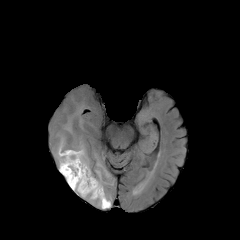
FLAIR MR image.
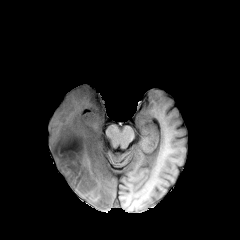
Same slice, T1-weighted MR.
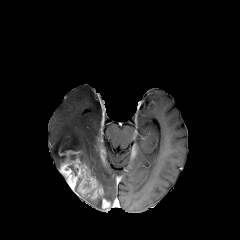
Same slice, post-contrast T1-weighted MRI.
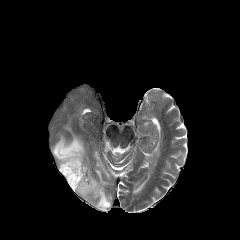
T2-weighted MRI.
Brain
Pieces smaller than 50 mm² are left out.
The largest necrotic tumor core region appears at (left=60, top=145, right=78, bottom=152). The largest peritumoral edema region lies within (left=52, top=116, right=113, bottom=209). 2 enhancing tumor regions are bounded by (left=58, top=142, right=103, bottom=199), (left=102, top=198, right=110, bottom=210).